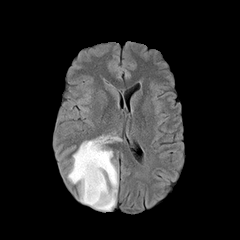
FLAIR MRI.
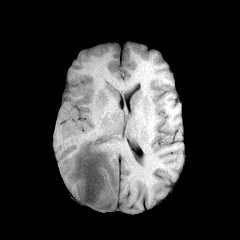
T1-weighted MRI of the same slice.
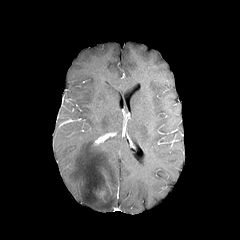
Post-contrast T1-weighted MRI of the same slice.
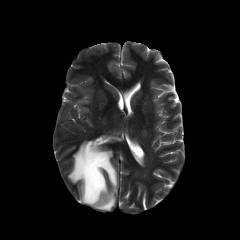
T2-weighted MRI.
Head
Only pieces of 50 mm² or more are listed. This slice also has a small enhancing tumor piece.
peritumoral edema at (68,137,119,211)